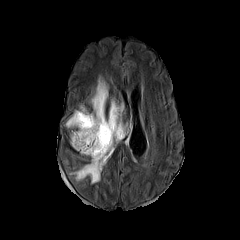
FLAIR MRI.
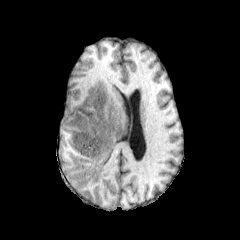
Same slice, T1-weighted MR.
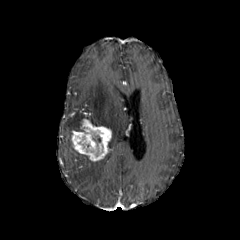
Post-contrast T1-weighted MR.
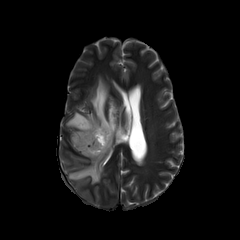
T2-weighted magnetic resonance.
Brain. Image size 240x240.
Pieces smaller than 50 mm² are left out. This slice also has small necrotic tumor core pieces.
enhancing tumor: (left=71, top=118, right=111, bottom=161) | peritumoral edema: (left=66, top=77, right=124, bottom=183)